Slice index 58
FLAIR magnetic resonance.
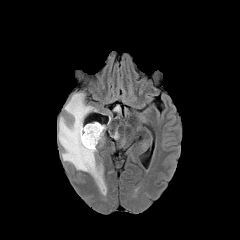
T1-weighted MR.
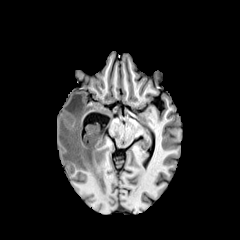
Post-contrast T1-weighted MR image.
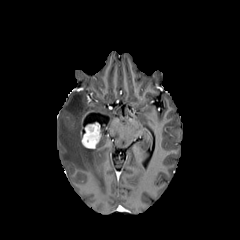
T2-weighted MR.
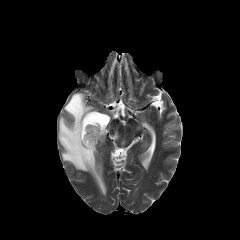
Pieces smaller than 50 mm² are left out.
Annotated regions:
• peritumoral edema: 100:125:104:141, 58:93:106:188
• enhancing tumor: 80:122:101:148